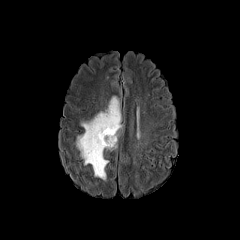
FLAIR MRI.
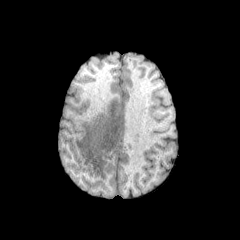
Same slice, T1-weighted MR.
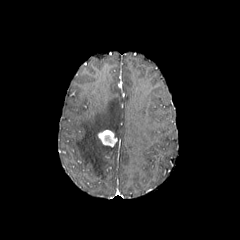
Post-contrast T1-weighted MRI.
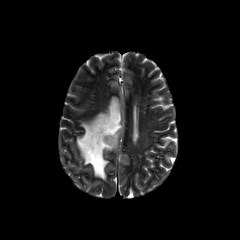
T2-weighted magnetic resonance.
Head. Axial plane.
<segmentation>
  <enhancing_tumor>{"x1": 98, "y1": 130, "x2": 117, "y2": 147}</enhancing_tumor>
  <peritumoral_edema>{"x1": 76, "y1": 97, "x2": 121, "y2": 180}</peritumoral_edema>
</segmentation>